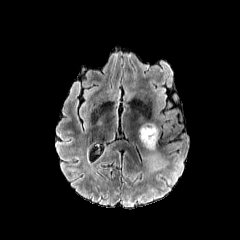
FLAIR MR.
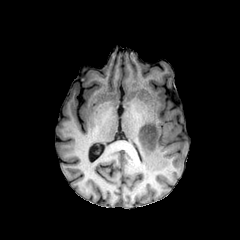
T1-weighted MRI.
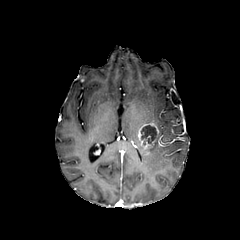
Same slice, post-contrast T1-weighted magnetic resonance.
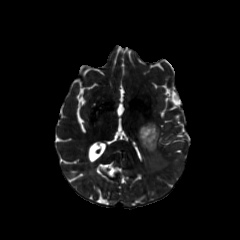
Same slice, T2-weighted MR image.
Image size 240x240. Axial plane.
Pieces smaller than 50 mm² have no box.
enhancing tumor: bounding box <box>138,122,158,155</box>
peritumoral edema: bounding box <box>148,135,158,169</box>
necrotic tumor core: bounding box <box>141,125,156,143</box>